Brain, 240x240
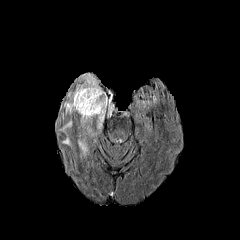
FLAIR MR.
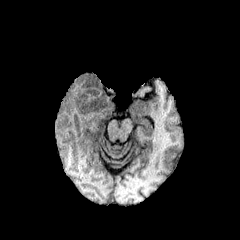
Same slice, T1-weighted MRI.
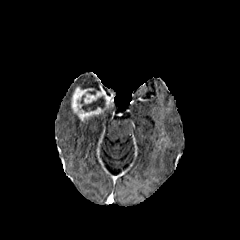
Same slice, post-contrast T1-weighted MRI.
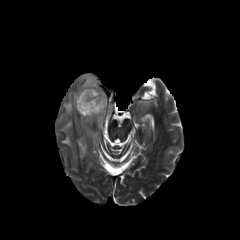
Same slice, T2-weighted magnetic resonance.
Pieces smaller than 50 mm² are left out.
<segmentation>
  <necrotic_tumor_core>(80,95,105,111)</necrotic_tumor_core>
  <enhancing_tumor>(71,86,113,121)</enhancing_tumor>
  <peritumoral_edema>(78,139,87,156), (81,106,113,128), (62,135,71,145), (62,92,73,119), (77,73,100,90), (60,120,72,132)</peritumoral_edema>
</segmentation>